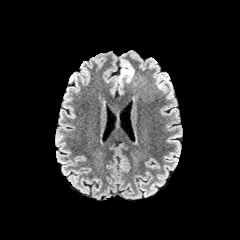
FLAIR MR.
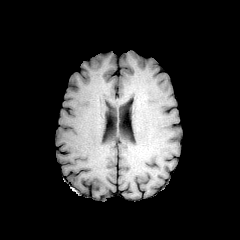
T1-weighted MR.
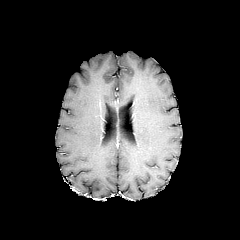
Post-contrast T1-weighted magnetic resonance.
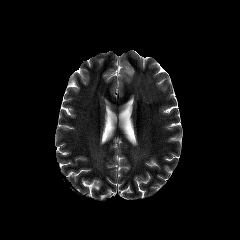
T2-weighted MRI.
Axial slice.
The peritumoral edema lies within rect(119, 62, 134, 84).